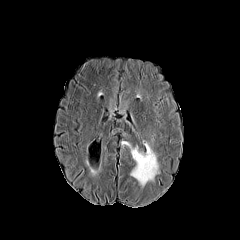
FLAIR magnetic resonance.
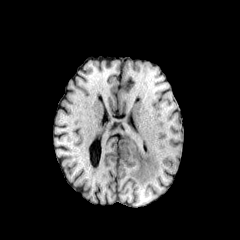
T1-weighted MR image of the same slice.
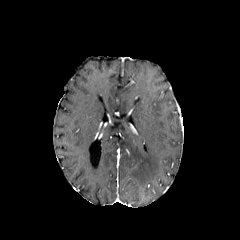
Post-contrast T1-weighted MR image.
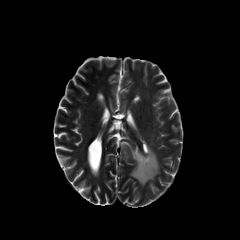
T2-weighted MR image of the same slice.
240x240; Axial slice
peritumoral edema = [121, 141, 159, 186]